Brain | Axial plane | Image covers 240 mm x 240 mm | Image size 240x240 | Slice 72 of 155
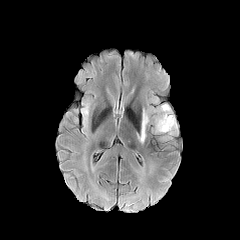
FLAIR MR image.
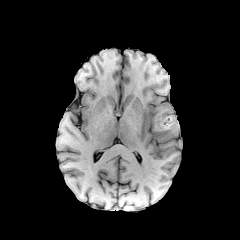
T1-weighted magnetic resonance.
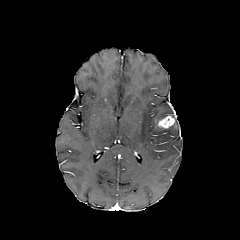
Post-contrast T1-weighted magnetic resonance.
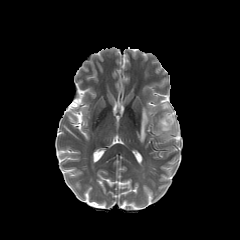
Same slice, T2-weighted MR.
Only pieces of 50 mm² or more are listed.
The enhancing tumor is located at box(157, 115, 175, 129). The 2 largest peritumoral edema regions are bounded by box(155, 104, 177, 134); box(137, 108, 149, 143).